FLAIR MR image.
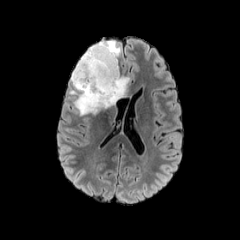
T1-weighted MR.
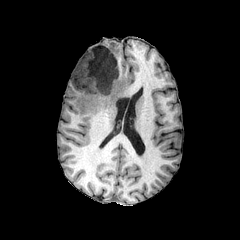
Post-contrast T1-weighted magnetic resonance.
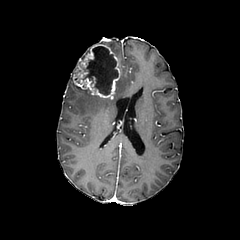
T2-weighted magnetic resonance.
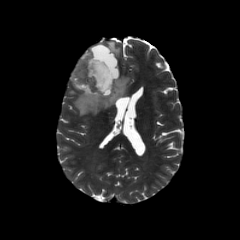
Head
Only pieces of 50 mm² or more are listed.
enhancing_tumor:
  - [73, 43, 119, 99]
necrotic_tumor_core:
  - [81, 46, 118, 95]
peritumoral_edema:
  - [71, 68, 129, 115]
  - [99, 41, 120, 58]